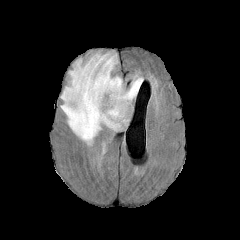
FLAIR MR.
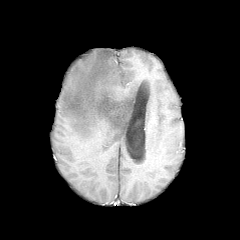
Same slice, T1-weighted magnetic resonance.
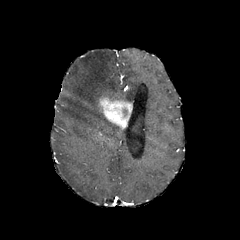
Post-contrast T1-weighted MR image.
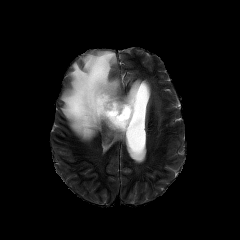
T2-weighted MRI.
Head.
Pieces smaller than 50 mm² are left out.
The enhancing tumor lies within [96,94,132,129]. The largest peritumoral edema region is located at [60,51,142,144].